Image size 240x240
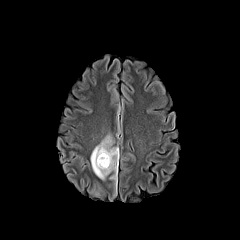
FLAIR MR image.
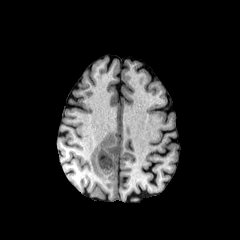
T1-weighted MR image.
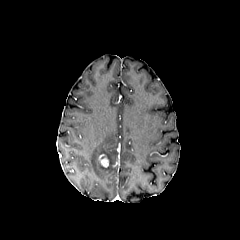
Same slice, post-contrast T1-weighted MR image.
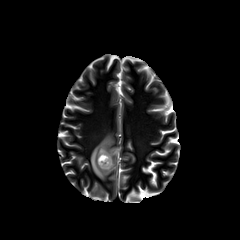
T2-weighted MR image.
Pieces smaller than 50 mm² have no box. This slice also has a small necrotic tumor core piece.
<segmentation>
  <peritumoral_edema>[x1=90, y1=134, x2=119, y2=182]</peritumoral_edema>
  <enhancing_tumor>[x1=98, y1=154, x2=109, y2=167]</enhancing_tumor>
</segmentation>